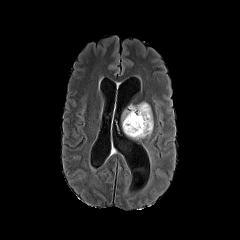
FLAIR magnetic resonance.
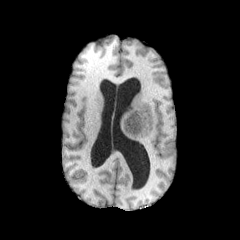
T1-weighted MRI.
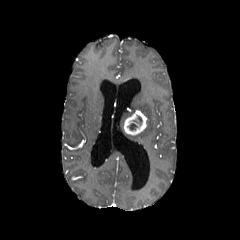
Same slice, post-contrast T1-weighted MRI.
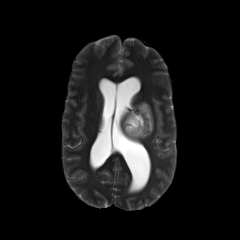
T2-weighted MR image of the same slice.
Image size 240x240, Head, Axial view
The peritumoral edema is at 122, 102, 153, 139. The necrotic tumor core is located at 127, 115, 142, 130. The enhancing tumor is bounded by 123, 110, 147, 135.